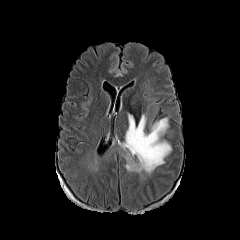
FLAIR MR image.
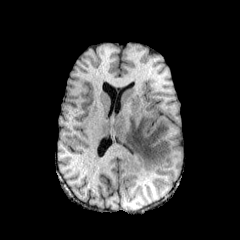
T1-weighted MR image.
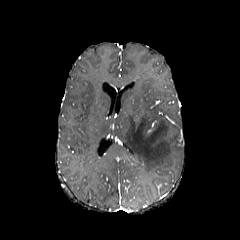
Post-contrast T1-weighted MR image.
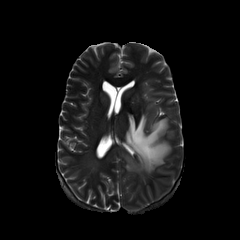
T2-weighted MR of the same slice.
240x240, Axial view
<segmentation>
  <peritumoral_edema>{"x1": 123, "y1": 114, "x2": 171, "y2": 173}</peritumoral_edema>
</segmentation>